Image covers 240 mm x 240 mm. Brain. 240x240 px. Slice 93 of 155.
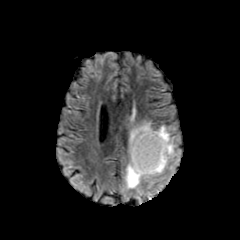
FLAIR MR.
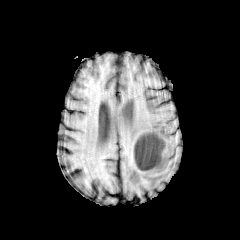
T1-weighted MR of the same slice.
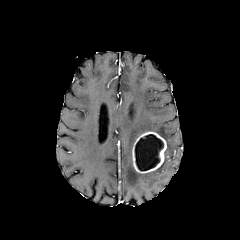
Post-contrast T1-weighted MR of the same slice.
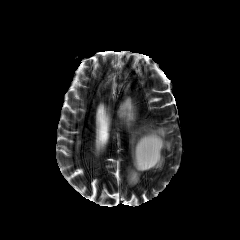
T2-weighted magnetic resonance.
<segmentation>
  <peritumoral_edema>rect(125, 121, 174, 188)</peritumoral_edema>
  <enhancing_tumor>rect(132, 131, 166, 173)</enhancing_tumor>
  <necrotic_tumor_core>rect(135, 134, 163, 170)</necrotic_tumor_core>
</segmentation>